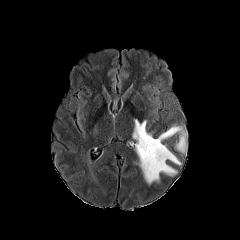
FLAIR MRI.
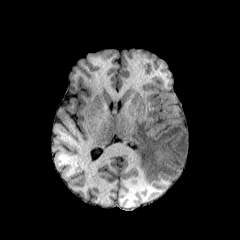
T1-weighted MRI.
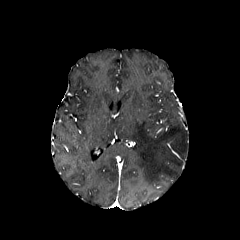
Post-contrast T1-weighted magnetic resonance of the same slice.
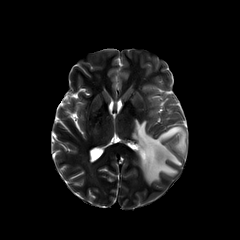
T2-weighted magnetic resonance of the same slice.
Brain; 240x240 px
peritumoral edema: bounding box 132,119,186,184